Axial view | Brain | 240x240
FLAIR MR image.
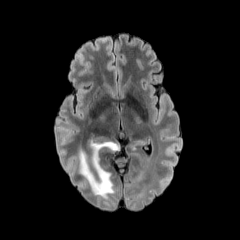
T1-weighted magnetic resonance.
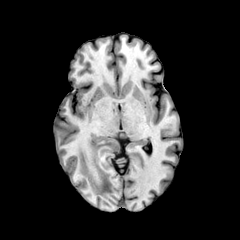
Post-contrast T1-weighted magnetic resonance.
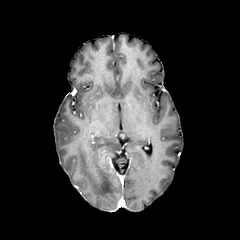
T2-weighted MR.
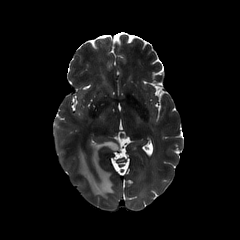
The peritumoral edema lies within 79,141,119,198.